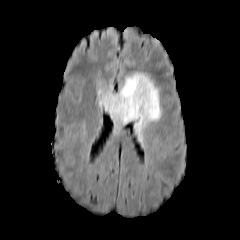
FLAIR MRI.
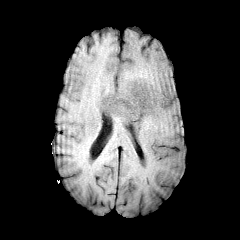
T1-weighted MR image.
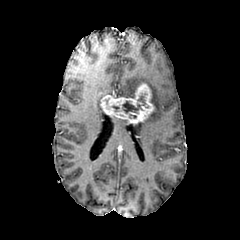
Same slice, post-contrast T1-weighted MR image.
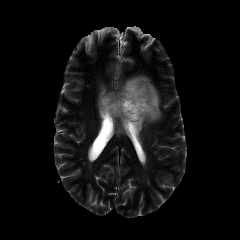
T2-weighted MR.
240x240 px, Axial view
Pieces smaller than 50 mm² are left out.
<segmentation>
  <enhancing_tumor>bbox=[100, 83, 154, 123]</enhancing_tumor>
  <necrotic_tumor_core>bbox=[122, 96, 145, 113]</necrotic_tumor_core>
  <peritumoral_edema>bbox=[112, 116, 128, 125]; bbox=[98, 90, 114, 105]; bbox=[116, 73, 161, 141]</peritumoral_edema>
</segmentation>